240x240 | Axial view | Head
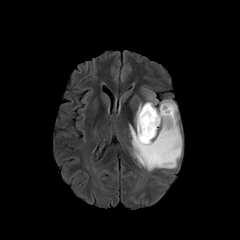
FLAIR MR.
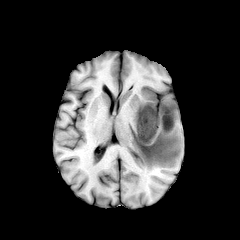
T1-weighted MR image of the same slice.
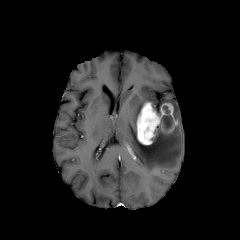
Post-contrast T1-weighted MR image.
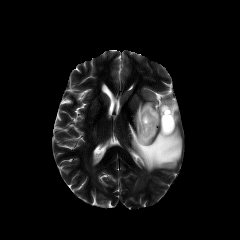
Same slice, T2-weighted MRI.
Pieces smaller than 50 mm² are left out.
Annotated regions:
- peritumoral edema: 147:94:159:112, 129:99:182:171, 134:103:143:124
- necrotic tumor core: 162:115:172:129
- enhancing tumor: 136:102:177:145